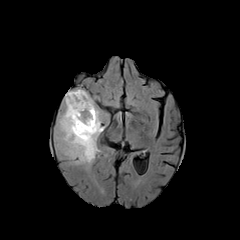
FLAIR MR.
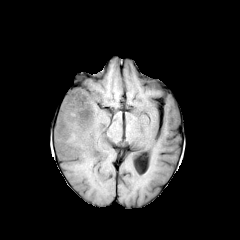
T1-weighted MR.
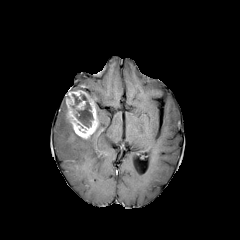
Same slice, post-contrast T1-weighted MR image.
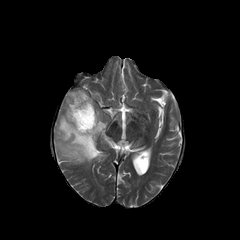
Same slice, T2-weighted magnetic resonance.
Axial plane.
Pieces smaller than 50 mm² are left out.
The largest enhancing tumor region lies within [66,90,98,139]. 2 necrotic tumor core regions are located at [71,94,81,107], [75,94,93,127]. The largest peritumoral edema region is bounded by [56,105,105,163].